Axial plane, Head, Slice 46 of 155, 240x240
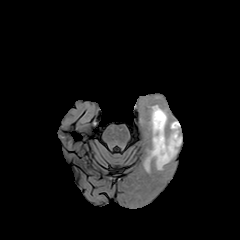
FLAIR MRI.
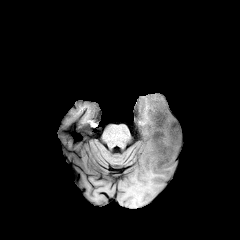
T1-weighted MR image of the same slice.
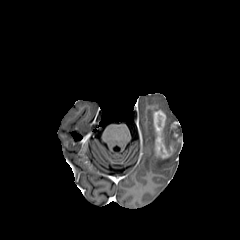
Post-contrast T1-weighted MR of the same slice.
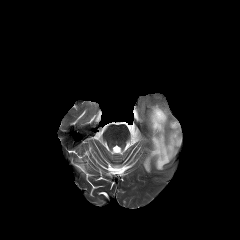
T2-weighted MR of the same slice.
peritumoral edema at 143,104,182,172
enhancing tumor at 153,109,181,159